Head, 240x240
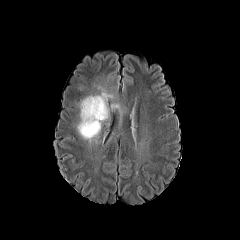
FLAIR magnetic resonance.
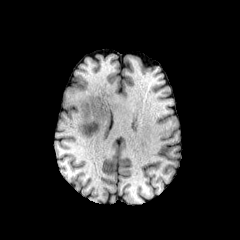
T1-weighted MR.
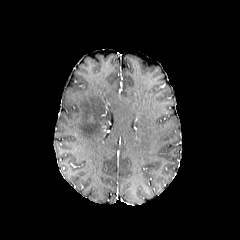
Post-contrast T1-weighted magnetic resonance.
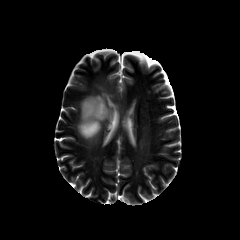
T2-weighted MR.
peritumoral_edema:
  - x1=77, y1=74, x2=128, y2=142